Image width 240 mm | Brain
FLAIR MRI.
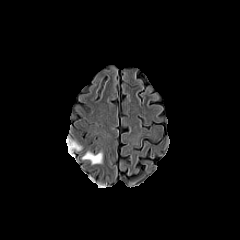
T1-weighted MR.
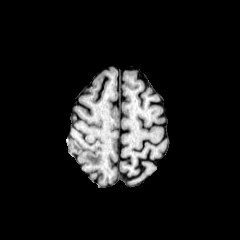
Post-contrast T1-weighted MR image.
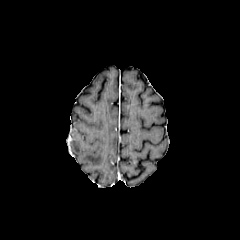
T2-weighted MR.
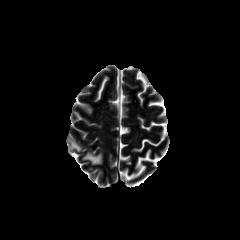
2 peritumoral edema regions appear at [82,152,102,164], [69,141,81,150].